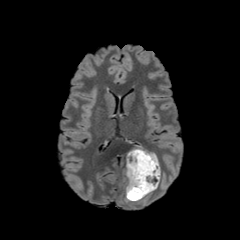
FLAIR MRI.
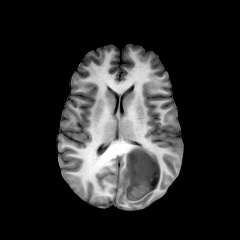
Same slice, T1-weighted MR image.
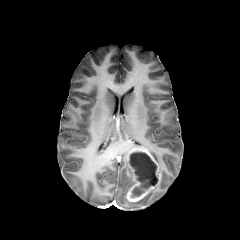
Post-contrast T1-weighted MR.
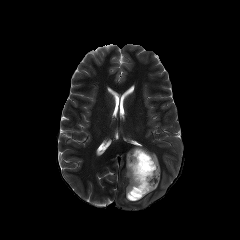
T2-weighted MRI.
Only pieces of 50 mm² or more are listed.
<segmentation>
  <peritumoral_edema>region(126, 176, 134, 195)</peritumoral_edema>
  <necrotic_tumor_core>region(129, 152, 158, 197)</necrotic_tumor_core>
  <enhancing_tumor>region(126, 147, 160, 201)</enhancing_tumor>
</segmentation>